FLAIR MR image.
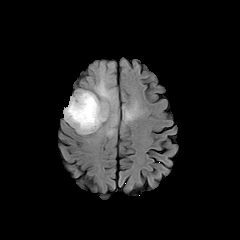
T1-weighted MR.
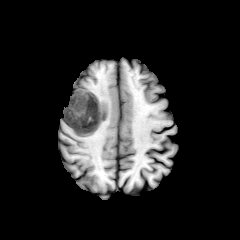
Post-contrast T1-weighted MRI.
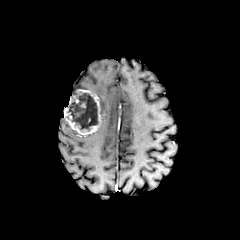
T2-weighted MR image.
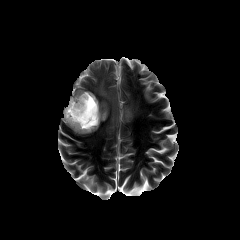
Brain
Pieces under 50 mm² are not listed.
The 2 largest enhancing tumor regions appear at (left=64, top=89, right=102, bottom=135), (left=68, top=95, right=78, bottom=105). The 2 largest peritumoral edema regions are bounded by (left=94, top=73, right=117, bottom=137), (left=123, top=102, right=137, bottom=123). The largest necrotic tumor core region is located at (left=68, top=93, right=98, bottom=130).